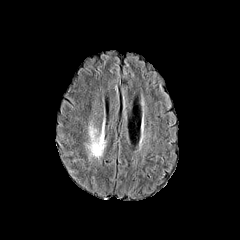
FLAIR MRI.
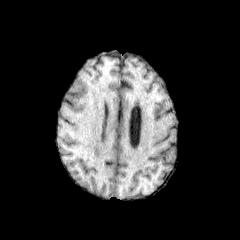
T1-weighted MRI.
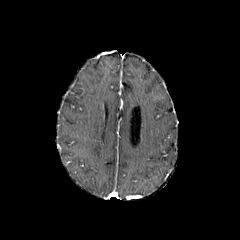
Same slice, post-contrast T1-weighted MRI.
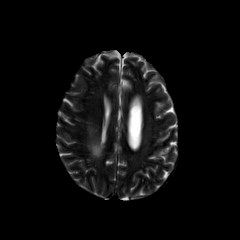
T2-weighted MRI.
<segmentation>
  <peritumoral_edema>(89,127,104,157)</peritumoral_edema>
</segmentation>